Slice 67/155, Axial slice, 240x240, Head
FLAIR magnetic resonance.
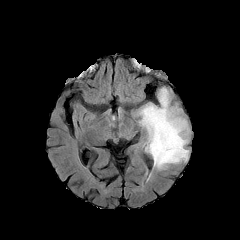
T1-weighted MR image.
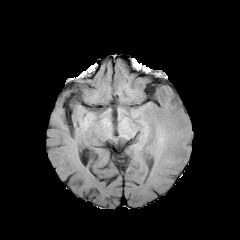
Post-contrast T1-weighted MR.
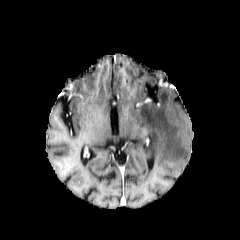
T2-weighted MR image.
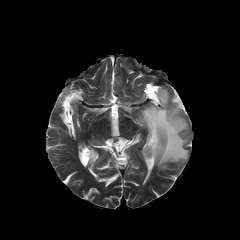
peritumoral_edema:
  - left=137, top=87, right=189, bottom=169